Slice index 49. Axial slice. Image size 240x240.
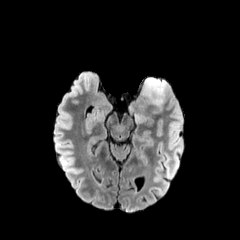
FLAIR magnetic resonance.
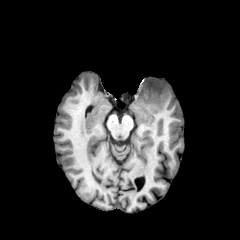
Same slice, T1-weighted MRI.
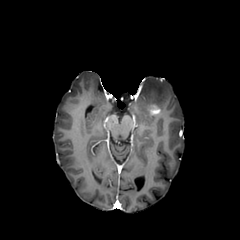
Post-contrast T1-weighted magnetic resonance.
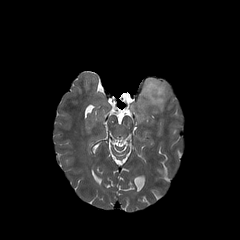
Same slice, T2-weighted MR image.
2 peritumoral edema regions appear at bbox(130, 106, 143, 122); bbox(138, 78, 167, 110). The enhancing tumor lies within bbox(149, 105, 160, 114).